FLAIR MR image.
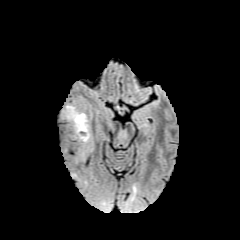
T1-weighted MRI.
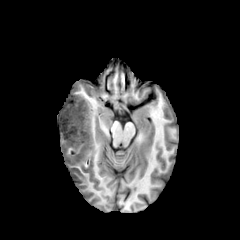
Post-contrast T1-weighted MR image.
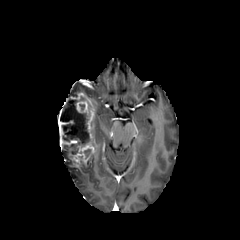
T2-weighted MRI.
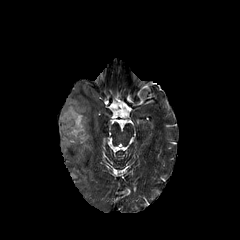
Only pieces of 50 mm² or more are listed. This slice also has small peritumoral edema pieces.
necrotic tumor core: bounding box [60,99,90,154]
enhancing tumor: bounding box [58,93,94,166]